Brain
FLAIR magnetic resonance.
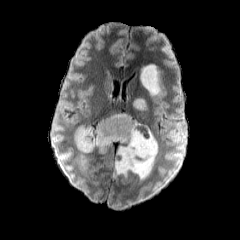
T1-weighted magnetic resonance.
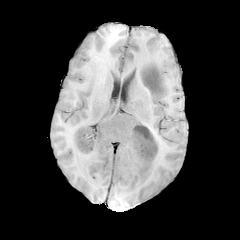
Post-contrast T1-weighted MRI.
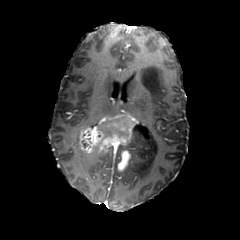
T2-weighted MR image.
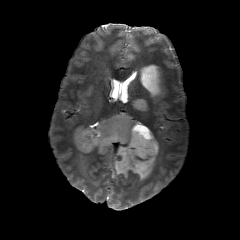
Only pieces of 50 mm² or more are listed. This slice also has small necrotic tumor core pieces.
peritumoral edema: <bbox>74, 126, 83, 147</bbox>, <bbox>114, 123, 158, 180</bbox>, <bbox>132, 98, 147, 110</bbox>, <bbox>140, 64, 162, 96</bbox> | enhancing tumor: <bbox>76, 114, 135, 172</bbox>